Head | Image width 240 mm, 1.00 mm slice spacing
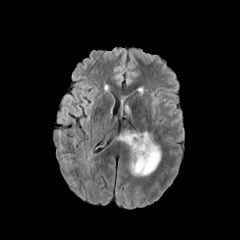
FLAIR magnetic resonance.
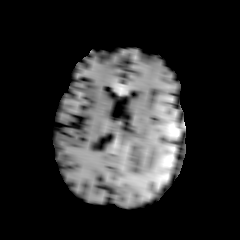
Same slice, T1-weighted MR image.
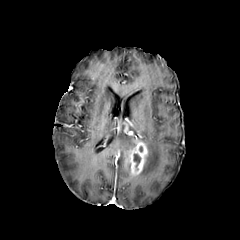
Same slice, post-contrast T1-weighted MRI.
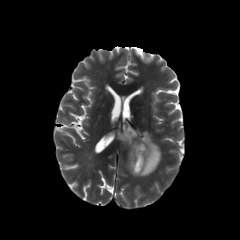
T2-weighted MR image of the same slice.
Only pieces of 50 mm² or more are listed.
The largest necrotic tumor core region appears at left=134, top=154, right=140, bottom=167. The enhancing tumor is at left=127, top=139, right=148, bottom=176. 2 peritumoral edema regions are bounded by left=138, top=132, right=161, bottom=176; left=118, top=133, right=134, bottom=147.